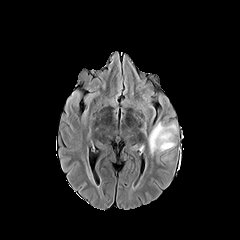
FLAIR MR image.
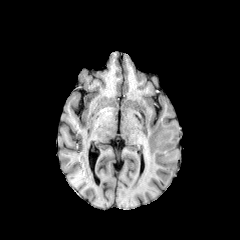
Same slice, T1-weighted magnetic resonance.
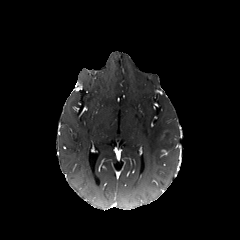
Post-contrast T1-weighted MR.
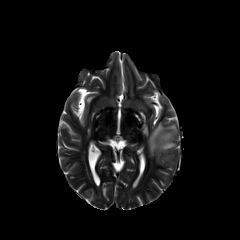
Same slice, T2-weighted MRI.
Head, Image size 240x240, Axial plane
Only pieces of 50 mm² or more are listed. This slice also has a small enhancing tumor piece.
The peritumoral edema appears at (left=148, top=122, right=177, bottom=155).